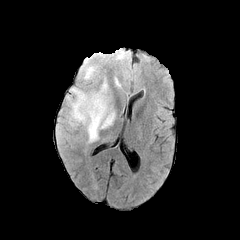
FLAIR MR.
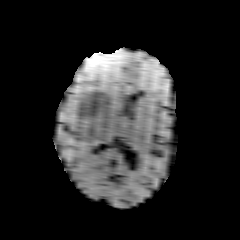
T1-weighted MRI.
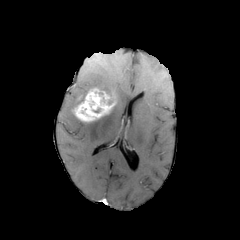
Post-contrast T1-weighted MR image.
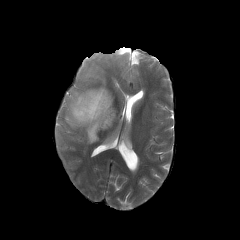
T2-weighted MRI of the same slice.
Brain
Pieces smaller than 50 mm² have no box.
- enhancing tumor: x1=74, y1=87, x2=115, y2=121
- peritumoral edema: x1=67, y1=89, x2=115, y2=142